FLAIR magnetic resonance.
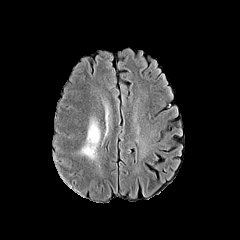
T1-weighted MR.
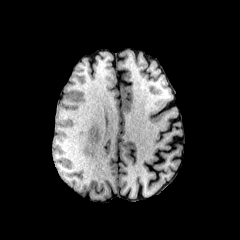
Post-contrast T1-weighted MR image.
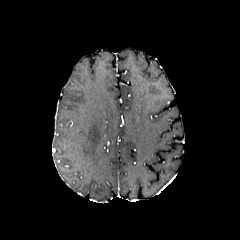
T2-weighted magnetic resonance.
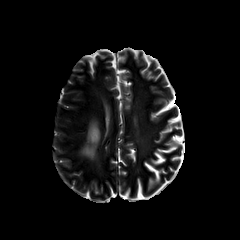
Head | 240x240
The peritumoral edema is at 82 121 100 158.